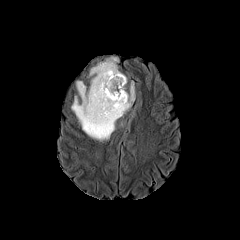
FLAIR MR image.
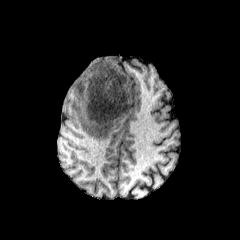
T1-weighted MR.
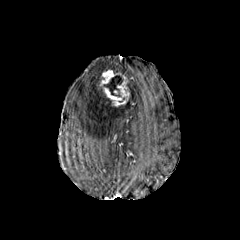
Post-contrast T1-weighted magnetic resonance of the same slice.
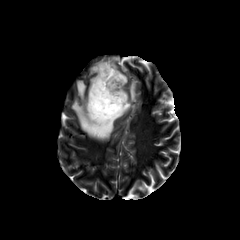
T2-weighted magnetic resonance of the same slice.
Axial view
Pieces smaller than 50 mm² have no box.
necrotic tumor core: region(99, 74, 123, 96) | enhancing tumor: region(103, 75, 129, 106); region(99, 70, 121, 85) | peritumoral edema: region(71, 57, 135, 141)